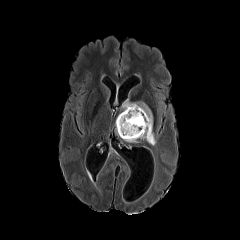
FLAIR MRI.
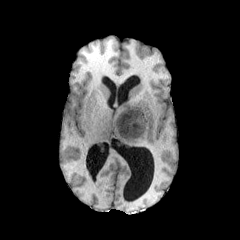
Same slice, T1-weighted MR image.
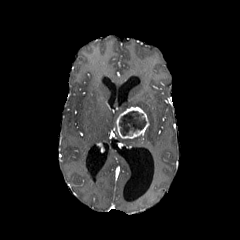
Same slice, post-contrast T1-weighted magnetic resonance.
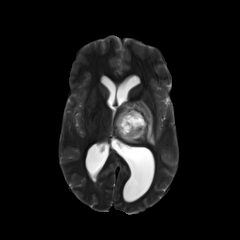
Same slice, T2-weighted MRI.
240x240 px, Head
{
  "enhancing_tumor": [
    "box=[116, 107, 149, 138]"
  ],
  "peritumoral_edema": [
    "box=[121, 101, 156, 145]"
  ],
  "necrotic_tumor_core": [
    "box=[119, 111, 146, 135]"
  ]
}